FLAIR MRI.
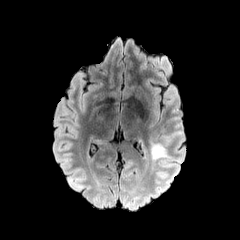
T1-weighted MR.
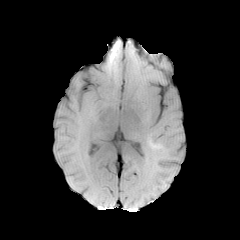
Post-contrast T1-weighted magnetic resonance.
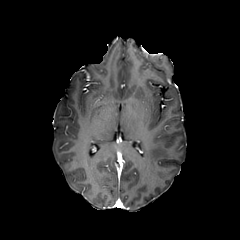
T2-weighted magnetic resonance.
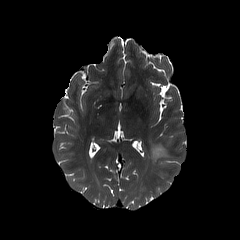
The peritumoral edema is located at (x1=151, y1=143, x2=169, y2=165).